FLAIR MR.
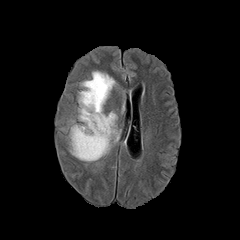
T1-weighted MR image.
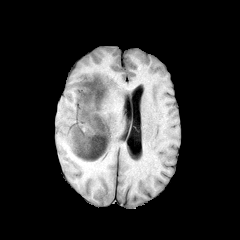
Post-contrast T1-weighted MR image.
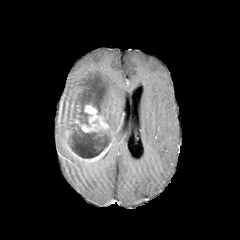
T2-weighted MR image.
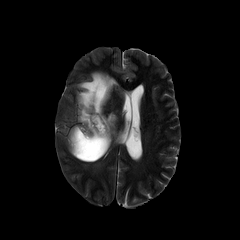
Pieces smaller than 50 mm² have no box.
peritumoral edema — <bbox>69, 71, 120, 155</bbox>
enhancing tumor — <bbox>68, 104, 109, 161</bbox>
necrotic tumor core — <bbox>71, 129, 97, 158</bbox>